FLAIR MR.
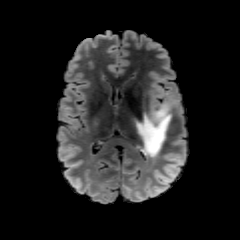
T1-weighted MRI.
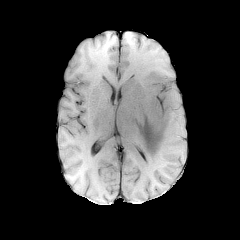
Post-contrast T1-weighted MR image.
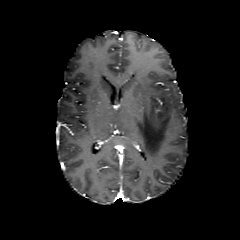
T2-weighted MR.
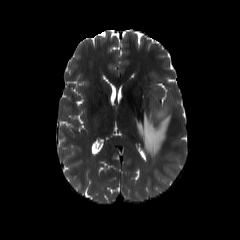
Image size 240x240 | Axial view | Brain
peritumoral edema = 136,102,171,157